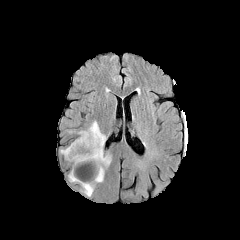
FLAIR MRI.
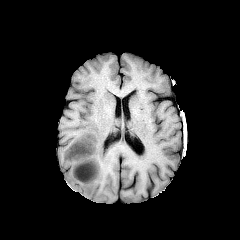
T1-weighted MRI.
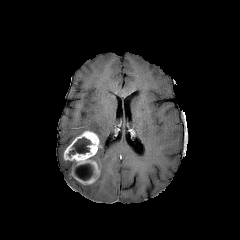
Post-contrast T1-weighted magnetic resonance.
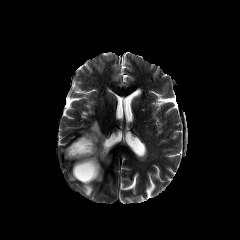
T2-weighted MR of the same slice.
Axial view
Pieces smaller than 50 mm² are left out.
peritumoral edema = l=86, t=121, r=110, b=182; l=80, t=183, r=93, b=196
necrotic tumor core = l=74, t=163, r=93, b=180; l=68, t=137, r=91, b=156
enhancing tumor = l=64, t=131, r=100, b=184